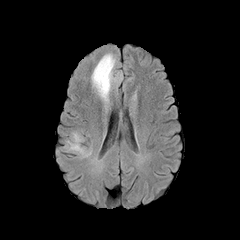
FLAIR MRI.
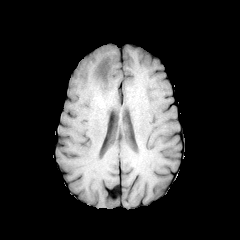
T1-weighted MRI.
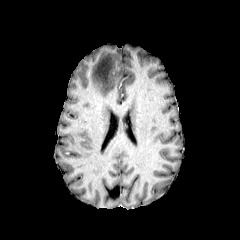
Same slice, post-contrast T1-weighted MR image.
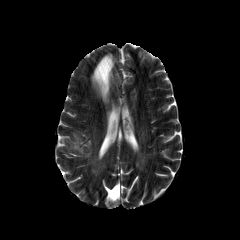
T2-weighted MR image.
Brain
<segmentation>
  <peritumoral_edema>91, 53, 115, 102</peritumoral_edema>
</segmentation>